Image width 240 mm, 1.00 mm slice spacing.
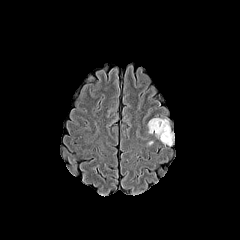
FLAIR MR image.
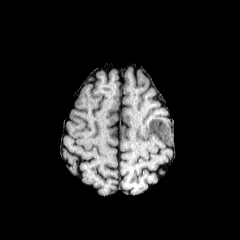
T1-weighted magnetic resonance of the same slice.
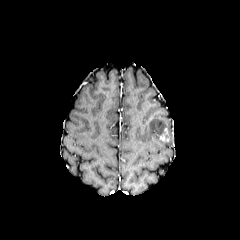
Post-contrast T1-weighted MR image.
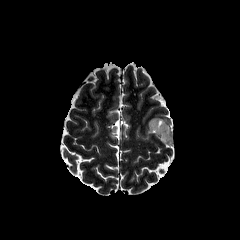
T2-weighted magnetic resonance.
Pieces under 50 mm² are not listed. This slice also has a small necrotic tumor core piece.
enhancing_tumor:
  - <box>160,128,169,141</box>
peritumoral_edema:
  - <box>148,118,173,145</box>